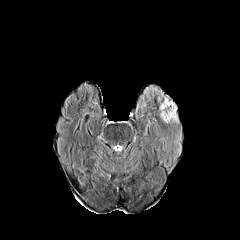
FLAIR MR image.
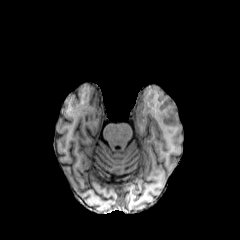
Same slice, T1-weighted MR.
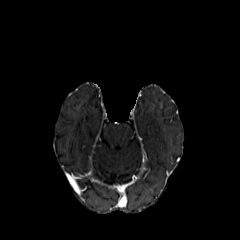
Same slice, post-contrast T1-weighted MR image.
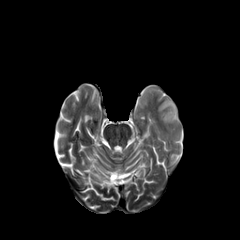
T2-weighted MR of the same slice.
240x240, Head
<segmentation>
  <peritumoral_edema>rect(159, 96, 178, 123)</peritumoral_edema>
</segmentation>